FLAIR MR.
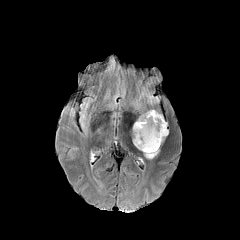
T1-weighted MRI.
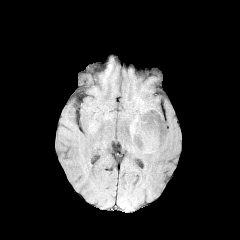
Post-contrast T1-weighted MR image.
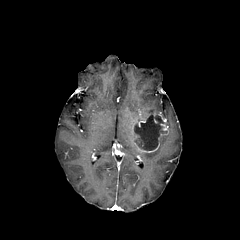
T2-weighted MRI.
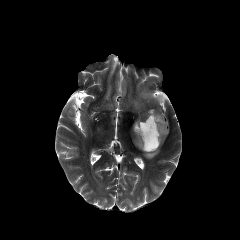
240x240; Axial plane; Head
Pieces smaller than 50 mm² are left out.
peritumoral edema: bounding box rect(141, 91, 159, 102); rect(137, 109, 158, 120); rect(143, 148, 158, 158)
necrotic tumor core: bounding box rect(136, 114, 166, 150)
enhancing tumor: bounding box rect(133, 112, 168, 152)